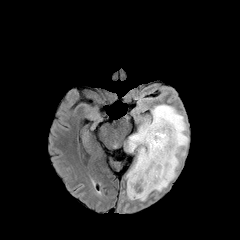
FLAIR MRI.
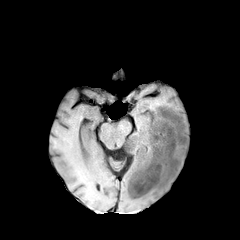
T1-weighted magnetic resonance of the same slice.
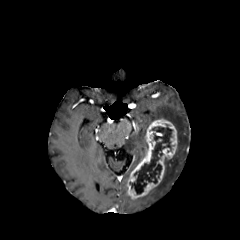
Same slice, post-contrast T1-weighted MR.
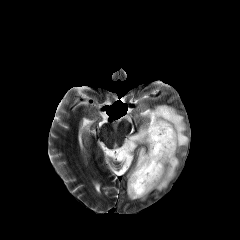
T2-weighted MR of the same slice.
Brain. Axial slice.
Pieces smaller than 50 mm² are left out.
* peritumoral edema: {"x1": 125, "y1": 104, "x2": 188, "y2": 201}
* necrotic tumor core: {"x1": 130, "y1": 127, "x2": 172, "y2": 194}
* enhancing tumor: {"x1": 127, "y1": 118, "x2": 177, "y2": 199}